Axial slice, Slice index 84
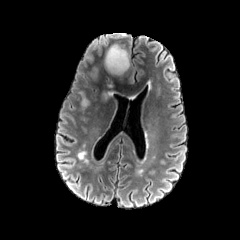
FLAIR MRI.
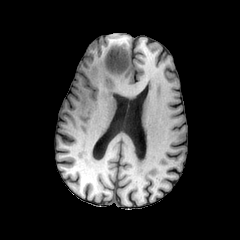
T1-weighted MR.
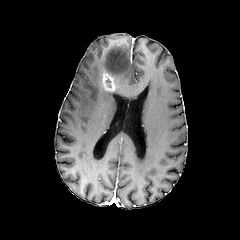
Post-contrast T1-weighted MR.
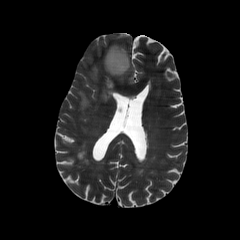
Same slice, T2-weighted MR.
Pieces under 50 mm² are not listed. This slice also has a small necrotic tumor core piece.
enhancing_tumor:
  - x1=102, y1=72, x2=115, y2=91
peritumoral_edema:
  - x1=79, y1=92, x2=89, y2=109
  - x1=105, y1=44, x2=129, y2=74
  - x1=102, y1=90, x2=113, y2=101